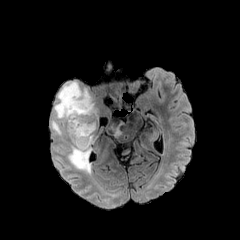
FLAIR MR image.
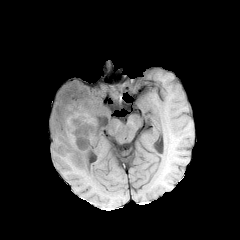
Same slice, T1-weighted MR.
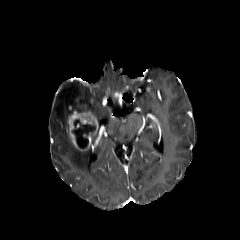
Post-contrast T1-weighted magnetic resonance.
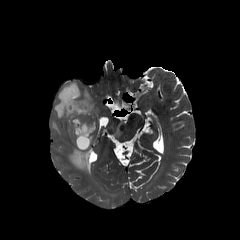
T2-weighted MR image.
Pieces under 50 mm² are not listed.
enhancing tumor at x1=68 y1=105 x2=98 y2=149
peritumoral edema at x1=68 y1=142 x2=91 y2=174, x1=106 y1=121 x2=122 y2=137, x1=51 y1=82 x2=98 y2=136
necrotic tumor core at x1=72 y1=119 x2=94 y2=147